Brain | Slice 82 of 155
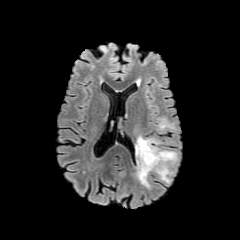
FLAIR MR.
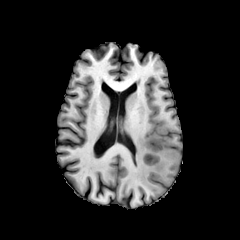
T1-weighted magnetic resonance of the same slice.
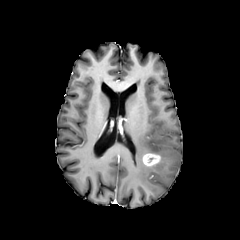
Post-contrast T1-weighted MRI.
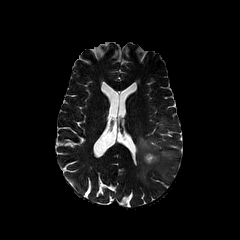
T2-weighted MRI of the same slice.
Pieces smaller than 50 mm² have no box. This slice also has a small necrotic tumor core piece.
• peritumoral edema: <bbox>136, 136, 175, 187</bbox>
• enhancing tumor: <bbox>143, 153, 160, 166</bbox>